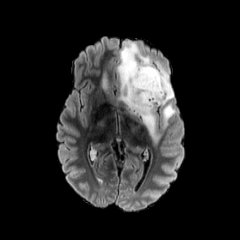
FLAIR MR image.
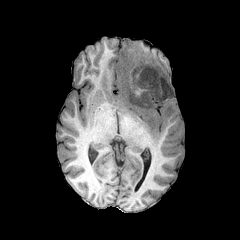
T1-weighted MRI.
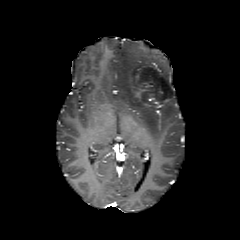
Post-contrast T1-weighted MRI.
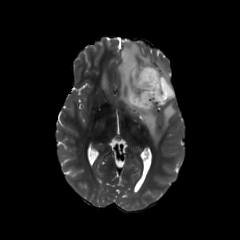
T2-weighted MR of the same slice.
Axial slice
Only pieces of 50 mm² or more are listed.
• enhancing tumor: [x1=130, y1=68, x2=152, y2=98], [x1=148, y1=94, x2=163, y2=107]
• peritumoral edema: [x1=116, y1=40, x2=176, y2=140], [x1=101, y1=74, x2=108, y2=89]